FLAIR MR image.
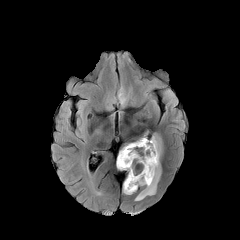
T1-weighted MR.
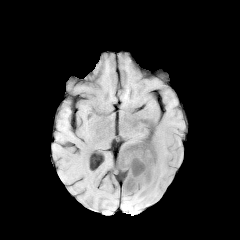
Post-contrast T1-weighted MR.
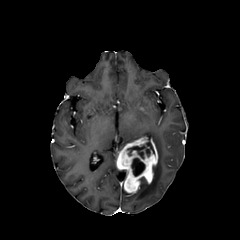
T2-weighted MR image.
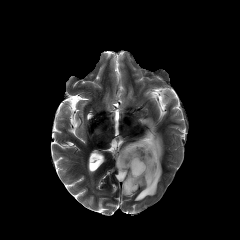
Brain
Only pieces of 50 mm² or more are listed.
necrotic tumor core = l=127, t=141, r=154, b=158; l=131, t=158, r=145, b=176
enhancing tumor = l=116, t=137, r=158, b=193
peritumoral edema = l=135, t=134, r=162, b=200